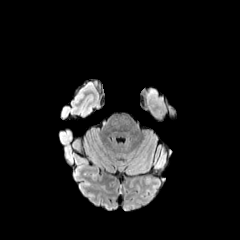
FLAIR magnetic resonance.
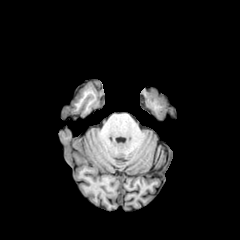
T1-weighted MR image of the same slice.
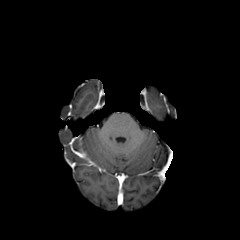
Post-contrast T1-weighted magnetic resonance of the same slice.
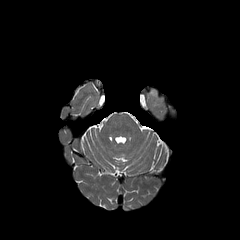
T2-weighted MR.
Axial plane. 240x240.
{"peritumoral_edema": ["bbox=[148, 88, 157, 94]"]}